Slice 72/155. Brain.
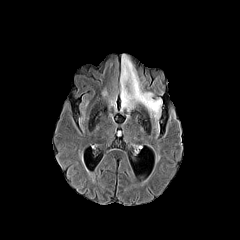
FLAIR MR image.
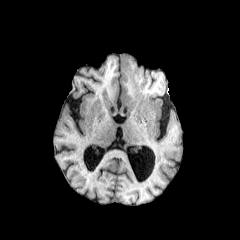
Same slice, T1-weighted MR.
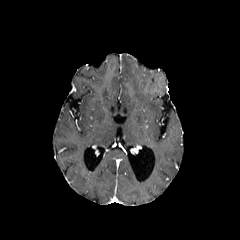
Post-contrast T1-weighted magnetic resonance of the same slice.
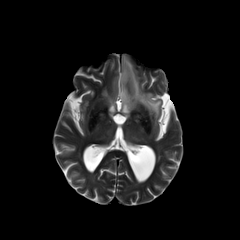
T2-weighted MR image of the same slice.
The peritumoral edema appears at bbox(120, 54, 162, 121).